FLAIR MRI.
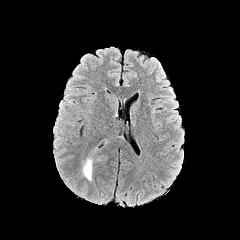
T1-weighted magnetic resonance.
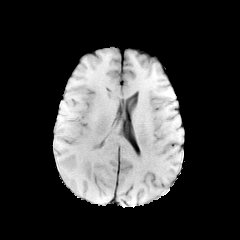
Post-contrast T1-weighted MRI.
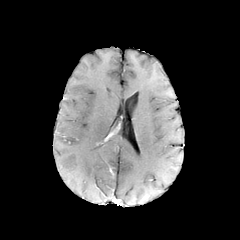
T2-weighted magnetic resonance.
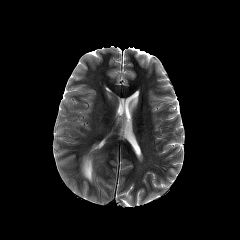
Axial slice; Brain
The peritumoral edema is located at box(81, 154, 94, 182).